FLAIR MR image.
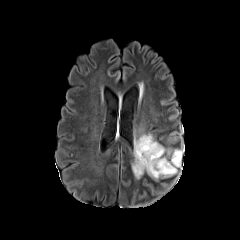
T1-weighted MRI.
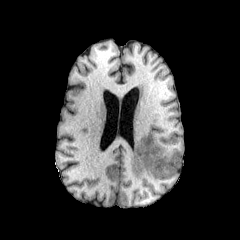
Post-contrast T1-weighted magnetic resonance.
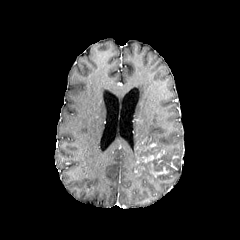
T2-weighted MR.
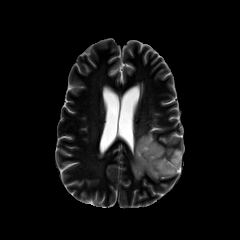
240x240 | Head
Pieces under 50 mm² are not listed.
The peritumoral edema lies within 132 133 180 179. The 2 largest necrotic tumor core regions are located at 139 157 170 171, 136 138 161 157. The 4 largest enhancing tumor regions appear at 150 162 169 177, 135 149 164 170, 143 143 157 150, 135 137 147 150.